Brain; Axial view; Slice index 64
FLAIR MR image.
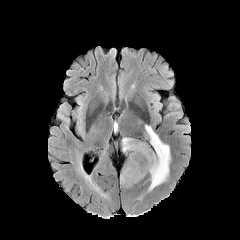
T1-weighted MR image.
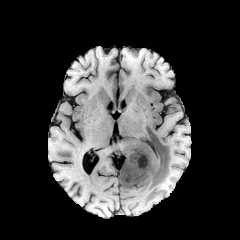
Post-contrast T1-weighted MRI.
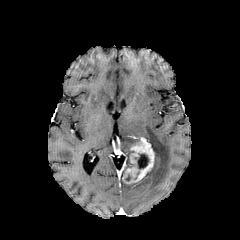
T2-weighted MRI.
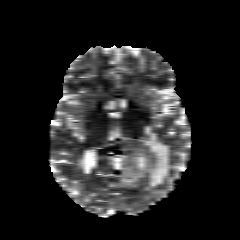
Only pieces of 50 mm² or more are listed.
enhancing tumor — <bbox>121, 138, 154, 184</bbox>
peritumoral edema — <bbox>145, 125, 170, 190</bbox>, <bbox>122, 137, 134, 155</bbox>
necrotic tumor core — <bbox>137, 154, 149, 168</bbox>